240x240; Slice 115 of 155
FLAIR magnetic resonance.
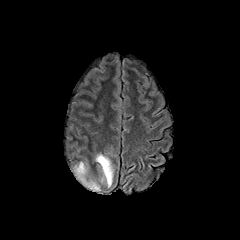
T1-weighted MR.
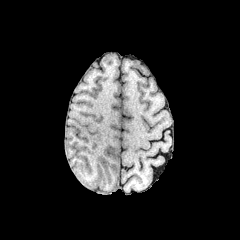
Post-contrast T1-weighted magnetic resonance.
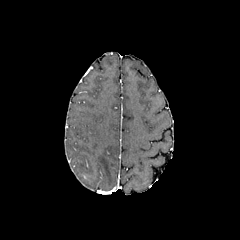
T2-weighted magnetic resonance.
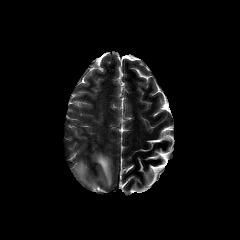
{
  "peritumoral_edema": [
    "[95, 154, 112, 187]",
    "[74, 162, 98, 190]"
  ]
}